Image width 240 mm, Image size 240x240
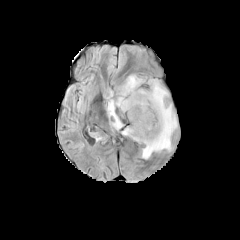
FLAIR MR image.
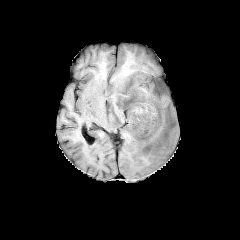
T1-weighted MRI.
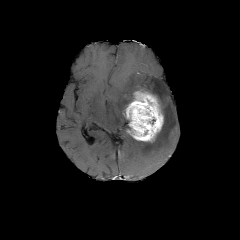
Post-contrast T1-weighted MR image of the same slice.
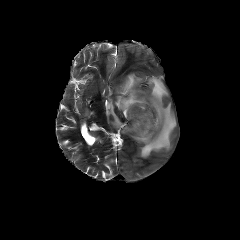
T2-weighted MR image of the same slice.
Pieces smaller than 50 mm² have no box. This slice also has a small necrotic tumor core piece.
The largest peritumoral edema region appears at 107,74,176,158. The enhancing tumor appears at 123,91,163,142.